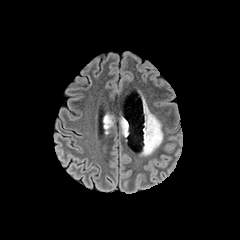
FLAIR MRI.
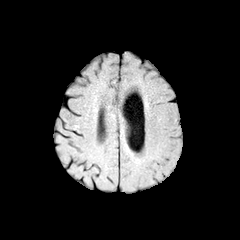
T1-weighted MRI of the same slice.
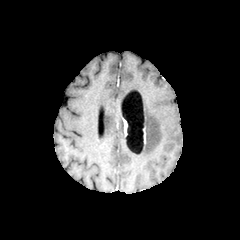
Same slice, post-contrast T1-weighted MR.
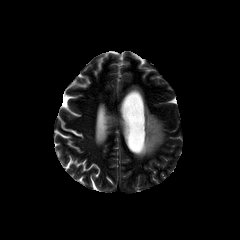
T2-weighted magnetic resonance of the same slice.
Brain
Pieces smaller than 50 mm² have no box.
peritumoral edema: bounding box bbox=[142, 100, 163, 155]; bbox=[120, 117, 126, 136]; bbox=[103, 114, 113, 133]
enhancing tumor: bounding box bbox=[123, 119, 127, 135]